Axial slice. Slice 96/155. Head.
FLAIR MR.
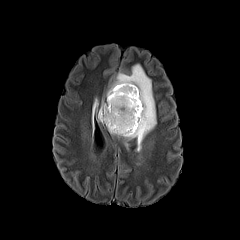
T1-weighted MR image.
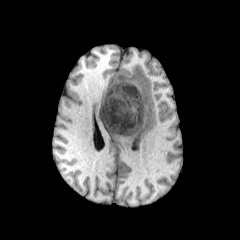
Post-contrast T1-weighted magnetic resonance.
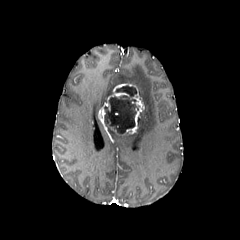
T2-weighted MRI.
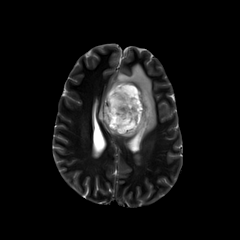
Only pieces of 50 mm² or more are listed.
{
  "necrotic_tumor_core": [
    "104:86:138:133"
  ],
  "peritumoral_edema": [
    "105:64:156:151"
  ],
  "enhancing_tumor": [
    "98:83:144:134"
  ]
}